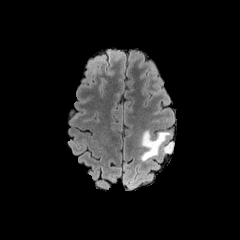
FLAIR MR.
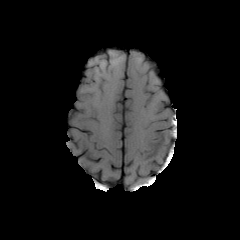
T1-weighted MR.
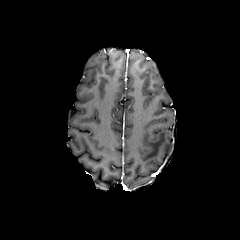
Post-contrast T1-weighted MRI.
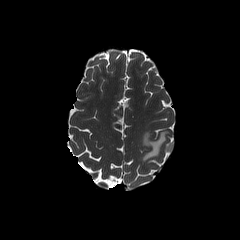
T2-weighted MR.
Axial plane
The peritumoral edema is at l=141, t=130, r=173, b=161.